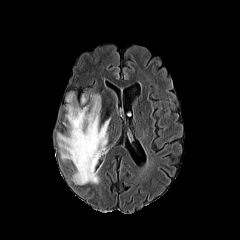
FLAIR magnetic resonance.
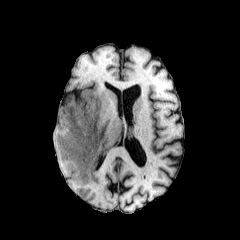
T1-weighted MR image.
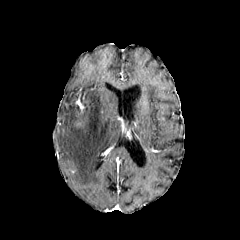
Post-contrast T1-weighted MR image.
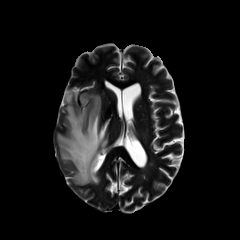
Same slice, T2-weighted MR image.
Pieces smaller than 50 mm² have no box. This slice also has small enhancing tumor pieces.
peritumoral edema: [x1=57, y1=94, x2=110, y2=184]